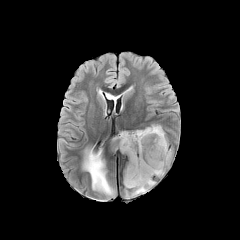
FLAIR magnetic resonance.
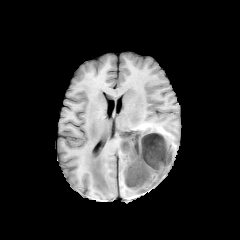
T1-weighted MRI.
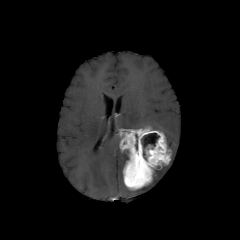
Post-contrast T1-weighted MR image.
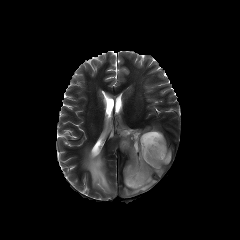
T2-weighted MR image of the same slice.
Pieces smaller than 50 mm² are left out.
The enhancing tumor is at [x1=119, y1=127, x2=171, y2=190]. The largest necrotic tumor core region is bounded by [x1=142, y1=133, x2=159, y2=148]. The 5 largest peritumoral edema regions are bounded by [x1=125, y1=180, x2=155, y2=196], [x1=109, y1=135, x2=120, y2=154], [x1=151, y1=125, x2=164, y2=134], [x1=153, y1=166, x2=165, y2=176], [x1=83, y1=149, x2=115, y2=196].